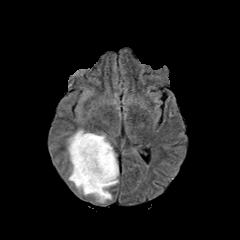
FLAIR MR image.
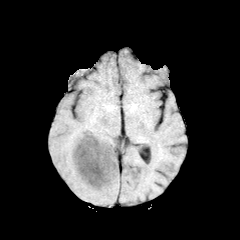
T1-weighted magnetic resonance of the same slice.
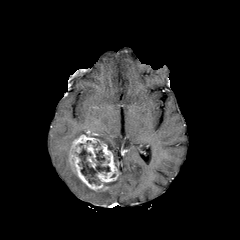
Post-contrast T1-weighted MRI of the same slice.
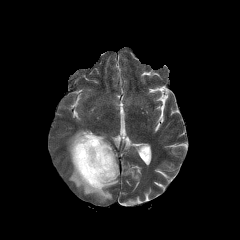
Same slice, T2-weighted MRI.
Head. Axial view.
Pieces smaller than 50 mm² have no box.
<segmentation>
  <enhancing_tumor>70,132,118,191</enhancing_tumor>
  <necrotic_tumor_core>78,147,110,184</necrotic_tumor_core>
  <peritumoral_edema>95,134,118,170; 67,129,86,160; 68,165,111,202</peritumoral_edema>
</segmentation>